Slice index 74, Axial slice, Brain, 240x240
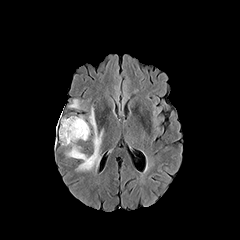
FLAIR magnetic resonance.
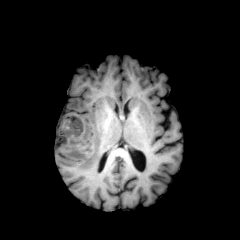
Same slice, T1-weighted magnetic resonance.
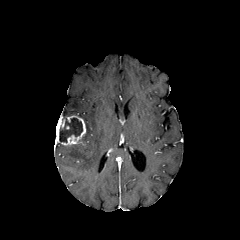
Post-contrast T1-weighted MRI of the same slice.
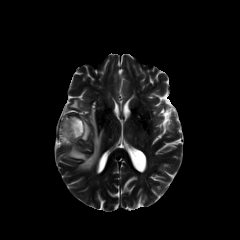
T2-weighted MRI.
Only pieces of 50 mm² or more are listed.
<segmentation>
  <necrotic_tumor_core>59,118,82,142</necrotic_tumor_core>
  <peritumoral_edema>69,99,80,108; 66,107,102,170; 80,116,90,140</peritumoral_edema>
  <enhancing_tumor>56,115,86,145</enhancing_tumor>
</segmentation>